Brain, Slice 86/155, 240x240 px, Axial view
FLAIR MR.
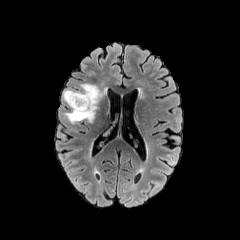
T1-weighted magnetic resonance.
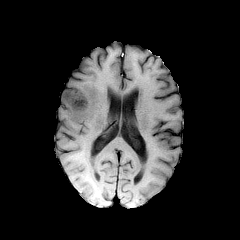
Post-contrast T1-weighted MRI.
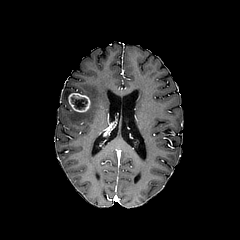
T2-weighted MRI.
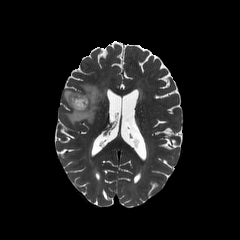
<segmentation>
  <enhancing_tumor><bbox>68, 92, 90, 112</bbox></enhancing_tumor>
  <necrotic_tumor_core><bbox>71, 97, 87, 109</bbox></necrotic_tumor_core>
  <peritumoral_edema><bbox>63, 83, 106, 123</bbox></peritumoral_edema>
</segmentation>